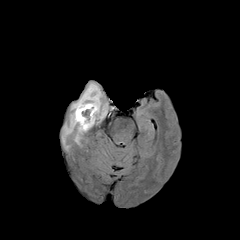
FLAIR MR.
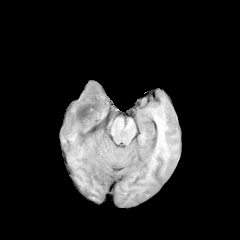
Same slice, T1-weighted MRI.
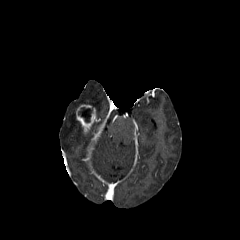
Post-contrast T1-weighted MR.
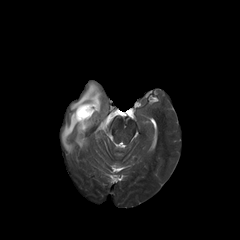
Same slice, T2-weighted MR image.
Image size 240x240
peritumoral edema: 62,82,107,150
necrotic tumor core: 78,107,92,122
enhancing tumor: 76,104,97,133